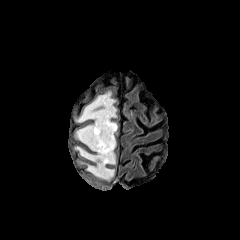
FLAIR MR.
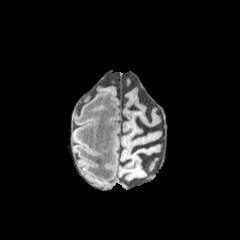
T1-weighted MR image of the same slice.
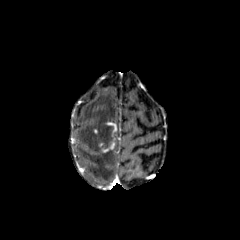
Post-contrast T1-weighted MR.
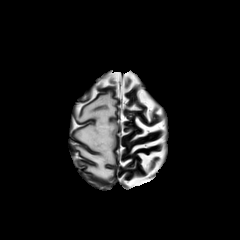
T2-weighted MRI.
240x240.
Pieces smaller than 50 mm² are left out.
enhancing_tumor:
  - rect(99, 122, 117, 152)
necrotic_tumor_core:
  - rect(98, 125, 113, 135)
peritumoral_edema:
  - rect(75, 92, 115, 180)